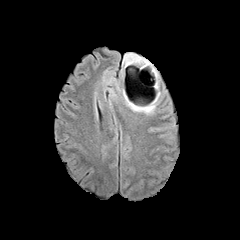
FLAIR MR image.
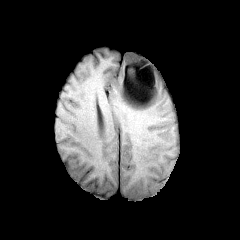
Same slice, T1-weighted MRI.
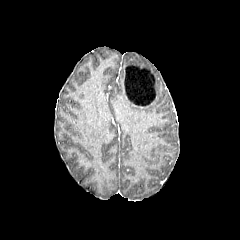
Post-contrast T1-weighted magnetic resonance of the same slice.
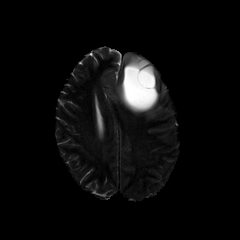
T2-weighted MR image of the same slice.
240x240 px | Brain
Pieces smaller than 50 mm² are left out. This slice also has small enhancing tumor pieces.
The 2 largest peritumoral edema regions appear at (left=124, top=54, right=157, bottom=76), (left=125, top=92, right=159, bottom=113). The necrotic tumor core appears at (left=124, top=63, right=155, bottom=106).